FLAIR MRI.
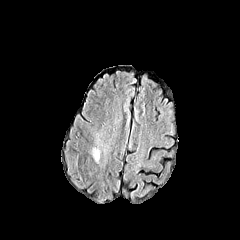
T1-weighted MR.
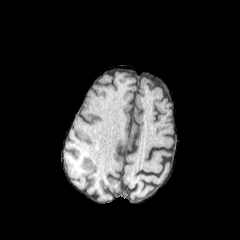
Post-contrast T1-weighted MR.
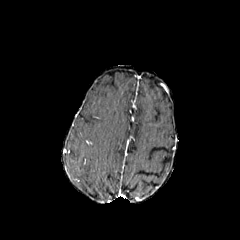
T2-weighted MR image.
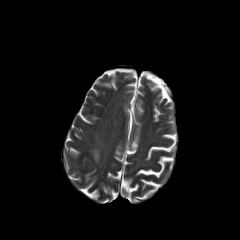
Head.
Segmented structures:
• peritumoral edema: 92, 148, 99, 161